FLAIR MR.
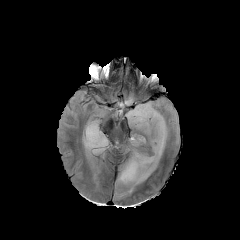
T1-weighted MRI.
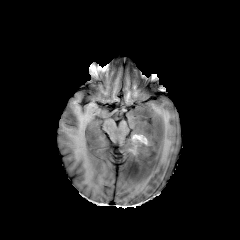
Post-contrast T1-weighted magnetic resonance.
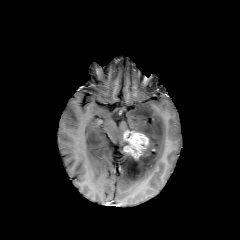
T2-weighted MR image.
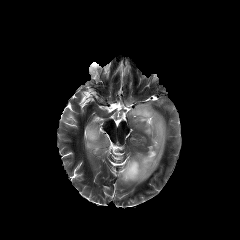
Axial plane; Brain; 240x240
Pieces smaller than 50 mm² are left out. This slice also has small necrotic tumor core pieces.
peritumoral_edema:
  - 120 97 133 106
  - 83 120 109 159
  - 117 101 167 192
enhancing_tumor:
  - 124 132 148 159